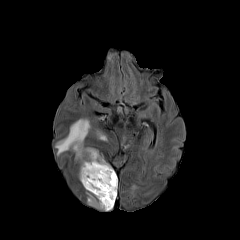
FLAIR MR.
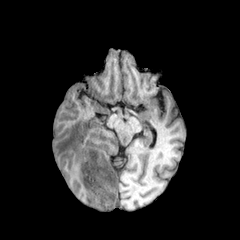
Same slice, T1-weighted MR image.
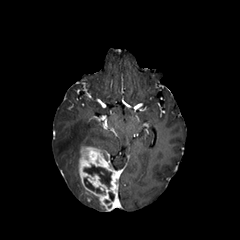
Same slice, post-contrast T1-weighted magnetic resonance.
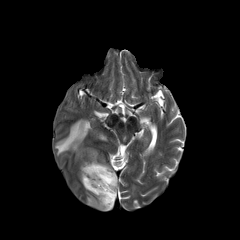
T2-weighted MR image.
Head; Axial view; 240x240
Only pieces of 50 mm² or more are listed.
{
  "peritumoral_edema": [
    "box=[88, 194, 105, 210]",
    "box=[55, 119, 90, 159]",
    "box=[97, 132, 106, 140]"
  ],
  "necrotic_tumor_core": [
    "box=[84, 165, 111, 188]",
    "box=[84, 178, 105, 193]"
  ],
  "enhancing_tumor": [
    "box=[79, 145, 118, 211]"
  ]
}